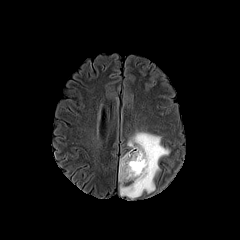
FLAIR MR.
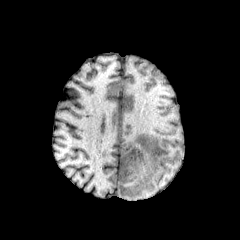
T1-weighted magnetic resonance.
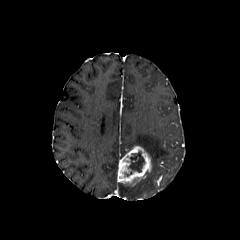
Post-contrast T1-weighted MRI of the same slice.
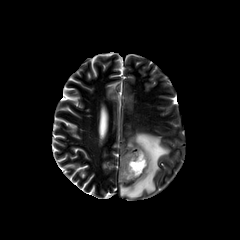
T2-weighted MR.
Brain
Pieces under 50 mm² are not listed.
<segmentation>
  <peritumoral_edema>[119,132,169,199]</peritumoral_edema>
  <necrotic_tumor_core>[129,152,144,172]</necrotic_tumor_core>
  <enhancing_tumor>[118,145,151,186]</enhancing_tumor>
</segmentation>